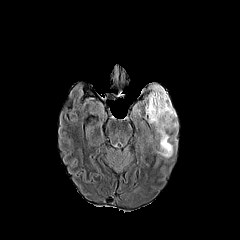
FLAIR MR image.
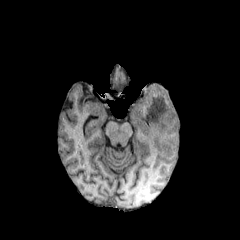
T1-weighted MRI of the same slice.
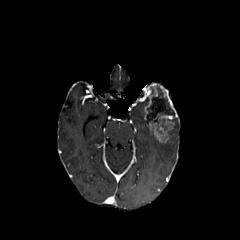
Post-contrast T1-weighted magnetic resonance.
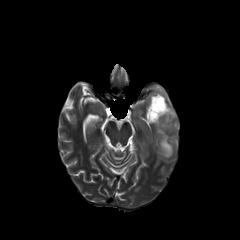
T2-weighted MR image.
Axial slice; Head
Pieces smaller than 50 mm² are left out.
The largest necrotic tumor core region is at (x1=146, y1=86, x2=174, y2=123). The enhancing tumor lies within (x1=145, y1=83, x2=177, y2=142). The 2 largest peritumoral edema regions are located at (x1=172, y1=118, x2=178, y2=132), (x1=159, y1=133, x2=177, y2=157).